Slice 120/155 | Image size 240x240 | Image width 240 mm | Axial slice
FLAIR MR.
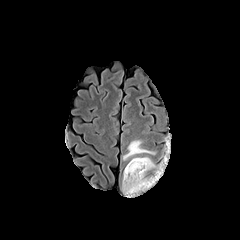
T1-weighted MR.
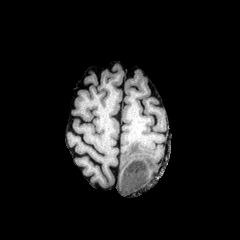
Post-contrast T1-weighted MRI.
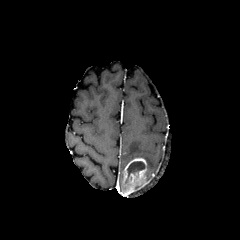
T2-weighted MR.
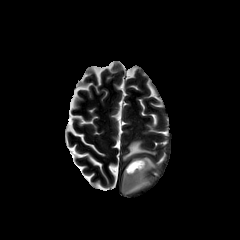
enhancing tumor: bounding box (x1=121, y1=158, x2=151, y2=196)
necrotic tumor core: bounding box (x1=127, y1=161, x2=144, y2=176)
peritumoral edema: bounding box (x1=122, y1=140, x2=156, y2=160), (x1=143, y1=156, x2=156, y2=169)